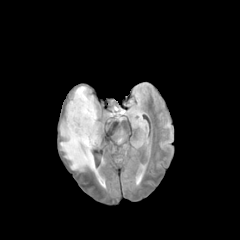
FLAIR magnetic resonance.
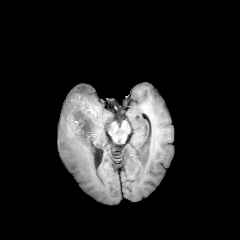
T1-weighted MRI.
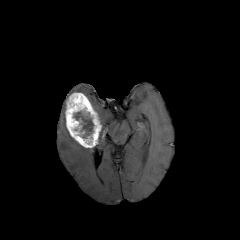
Same slice, post-contrast T1-weighted MR.
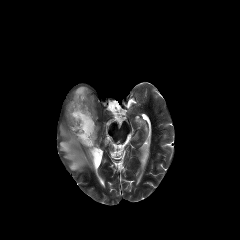
Same slice, T2-weighted MR.
Axial plane
necrotic tumor core: box=[74, 112, 93, 137] | enhancing tumor: box=[65, 92, 101, 148] | peritumoral edema: box=[60, 123, 96, 172]; box=[75, 86, 96, 111]